FLAIR magnetic resonance.
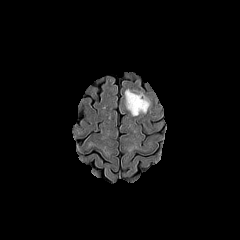
T1-weighted MR image.
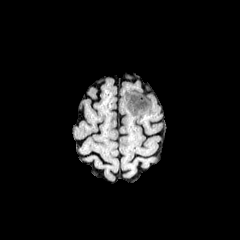
Post-contrast T1-weighted MR.
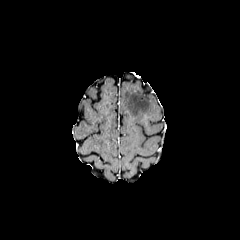
T2-weighted MR.
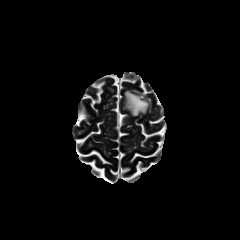
240x240. Brain.
The peritumoral edema is bounded by x1=125, y1=89, x2=150, y2=116.